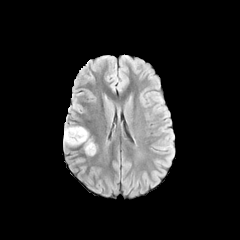
FLAIR MR.
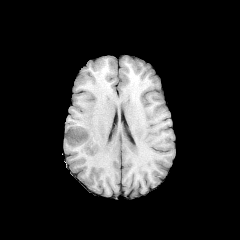
T1-weighted MR image of the same slice.
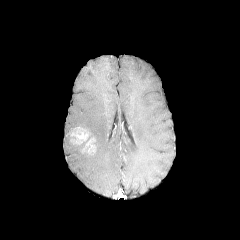
Same slice, post-contrast T1-weighted MR.
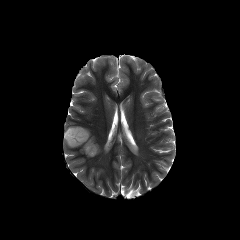
T2-weighted MRI.
Brain | Image size 240x240
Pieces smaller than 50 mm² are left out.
The largest peritumoral edema region is at 64 126 80 145. 2 enhancing tumor regions appear at 66 127 89 144, 83 138 96 154.